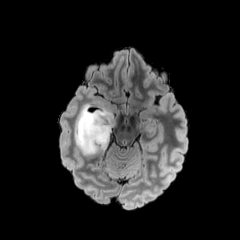
FLAIR MR.
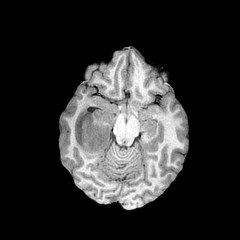
Same slice, T1-weighted MR.
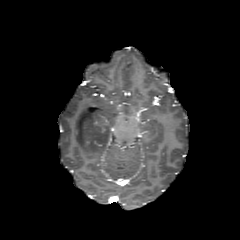
Post-contrast T1-weighted magnetic resonance.
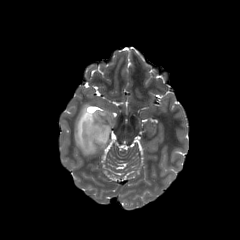
T2-weighted MRI.
Head; Axial view
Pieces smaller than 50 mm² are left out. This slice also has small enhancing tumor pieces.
{
  "peritumoral_edema": [
    "(x1=75, y1=100, x2=120, y2=155)"
  ]
}